Axial view, Head
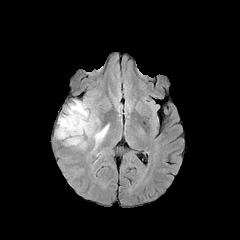
FLAIR MR.
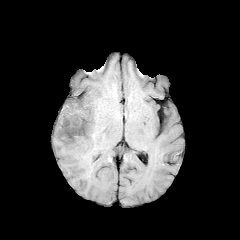
T1-weighted MR.
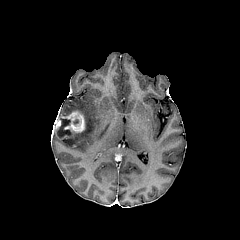
Post-contrast T1-weighted magnetic resonance.
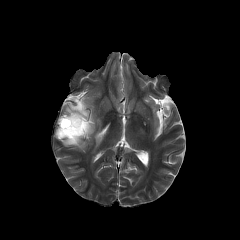
T2-weighted MRI.
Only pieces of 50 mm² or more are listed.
necrotic tumor core at left=58, top=119, right=71, bottom=135
enhancing tumor at left=57, top=111, right=86, bottom=138
peritumoral edema at left=94, top=125, right=108, bottom=146; left=58, top=100, right=98, bottom=148